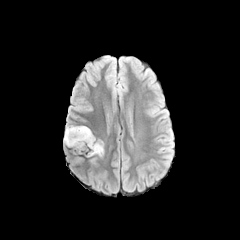
FLAIR MR.
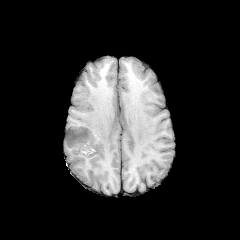
T1-weighted magnetic resonance of the same slice.
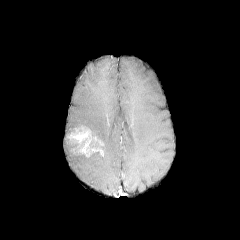
Post-contrast T1-weighted MR image of the same slice.
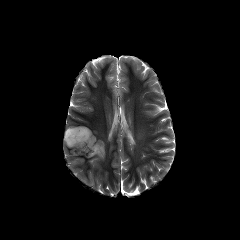
T2-weighted MR.
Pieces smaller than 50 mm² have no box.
Annotated regions:
- peritumoral edema: (64,126,80,147)
- enhancing tumor: (66,126,103,156)